FLAIR MRI.
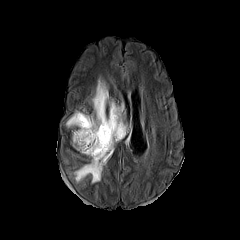
T1-weighted MR image.
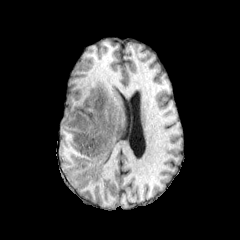
Post-contrast T1-weighted MRI.
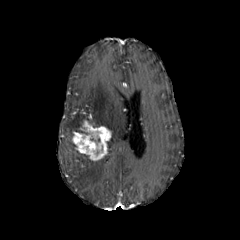
T2-weighted MR.
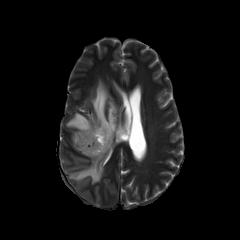
Brain; Axial slice
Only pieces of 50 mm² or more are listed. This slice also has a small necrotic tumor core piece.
Segmented structures:
• enhancing tumor: [72, 119, 111, 160]
• peritumoral edema: [66, 79, 125, 183]